Slice index 75, Brain
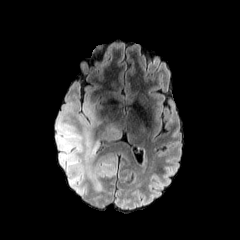
FLAIR MR.
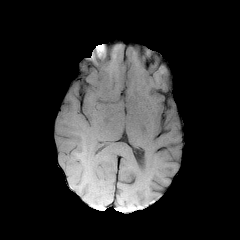
T1-weighted magnetic resonance.
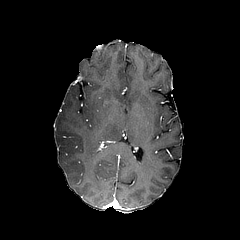
Post-contrast T1-weighted MR of the same slice.
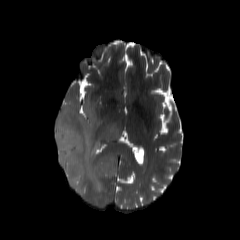
T2-weighted MR image.
Findings:
* peritumoral edema: <box>54,94,122,195</box>